FLAIR MR image.
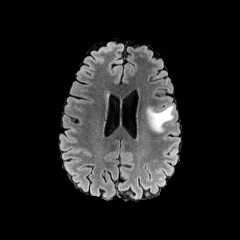
T1-weighted magnetic resonance.
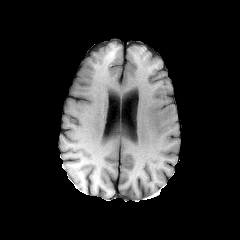
Post-contrast T1-weighted MR.
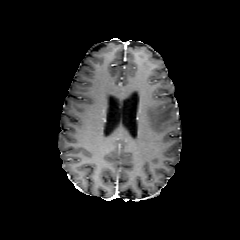
T2-weighted MR.
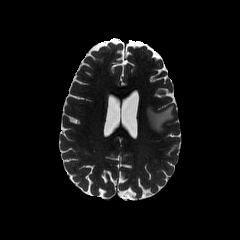
Image size 240x240 | Head
<segmentation>
  <peritumoral_edema>rect(147, 105, 174, 132)</peritumoral_edema>
</segmentation>